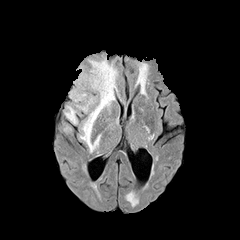
FLAIR MRI.
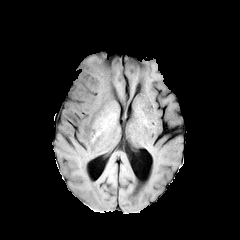
Same slice, T1-weighted MR image.
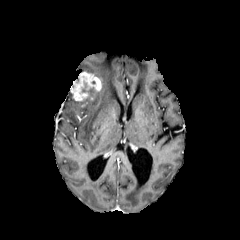
Post-contrast T1-weighted MR of the same slice.
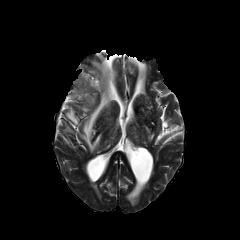
T2-weighted MR image.
Brain, 240x240 px
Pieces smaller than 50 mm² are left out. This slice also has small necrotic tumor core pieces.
The largest enhancing tumor region is at [x1=70, y1=71, x2=102, y2=101]. The 3 largest peritumoral edema regions are bounded by [x1=80, y1=58, x2=117, y2=152], [x1=77, y1=93, x2=97, y2=111], [x1=65, y1=106, x2=77, y2=124].